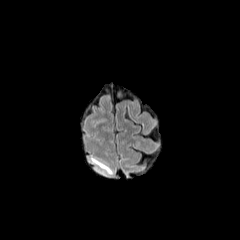
FLAIR MR image.
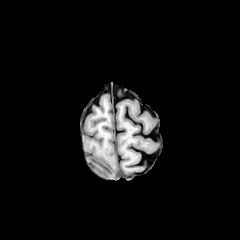
T1-weighted MRI.
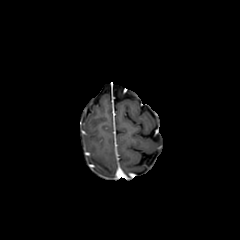
Post-contrast T1-weighted MR of the same slice.
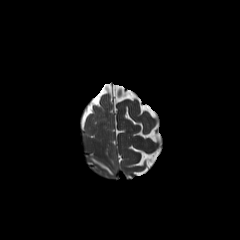
T2-weighted MR of the same slice.
240x240
Findings:
- peritumoral edema: region(90, 158, 112, 174)